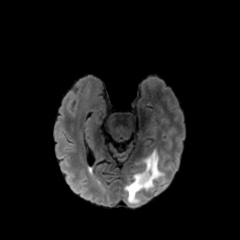
FLAIR magnetic resonance.
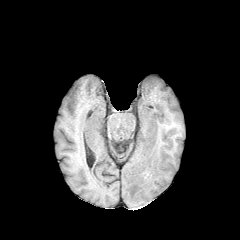
T1-weighted MR image.
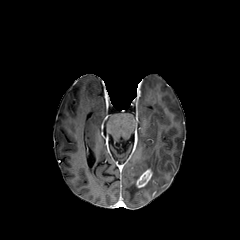
Post-contrast T1-weighted magnetic resonance of the same slice.
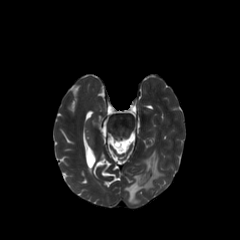
T2-weighted MRI.
Brain. Axial plane.
The enhancing tumor is at x1=136, y1=169, x2=152, y2=187. The peritumoral edema is bounded by x1=125, y1=150, x2=163, y2=203.